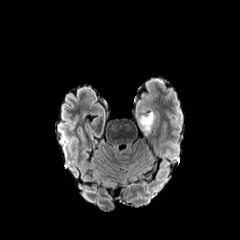
FLAIR MR image.
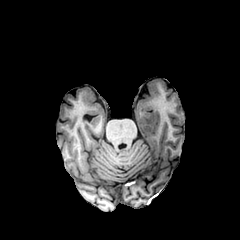
T1-weighted MR.
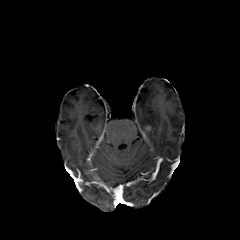
Post-contrast T1-weighted MR image.
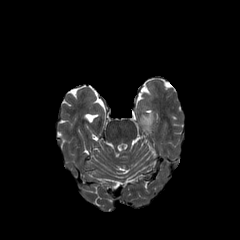
Same slice, T2-weighted MRI.
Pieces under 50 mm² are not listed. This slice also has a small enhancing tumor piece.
Findings:
• peritumoral edema: x1=138 y1=112 x2=154 y2=134